Image covers 240 mm x 240 mm | Slice 88 of 155 | Image size 240x240 | Axial slice
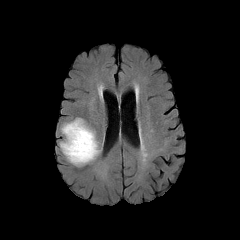
FLAIR MR.
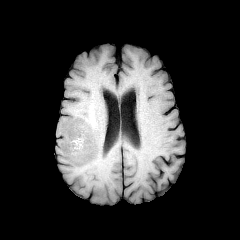
T1-weighted magnetic resonance.
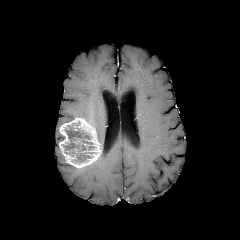
Post-contrast T1-weighted MRI of the same slice.
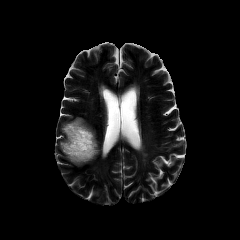
T2-weighted magnetic resonance.
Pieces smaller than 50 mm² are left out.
<segmentation>
  <enhancing_tumor><box>59,117,101,168</box></enhancing_tumor>
  <necrotic_tumor_core><box>63,124,92,163</box></necrotic_tumor_core>
</segmentation>